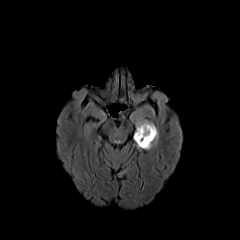
FLAIR magnetic resonance.
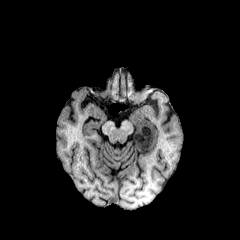
Same slice, T1-weighted MR image.
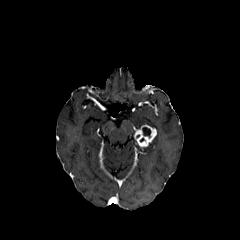
Post-contrast T1-weighted magnetic resonance.
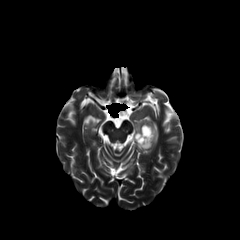
T2-weighted magnetic resonance of the same slice.
Axial slice
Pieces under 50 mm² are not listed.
peritumoral edema = region(135, 117, 155, 128); region(137, 130, 158, 149)
necrotic tumor core = region(142, 127, 150, 137)
enhancing tumor = region(134, 124, 156, 147)